Axial view. Slice 45 of 155. 240x240.
FLAIR MR image.
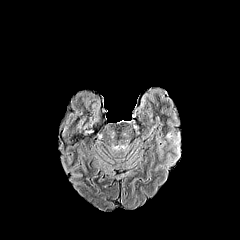
T1-weighted MR image.
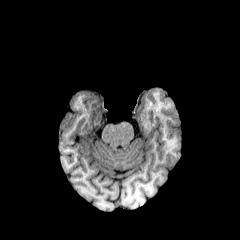
Post-contrast T1-weighted magnetic resonance.
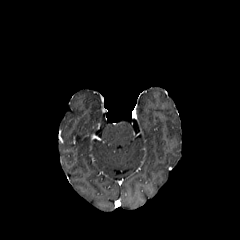
T2-weighted magnetic resonance.
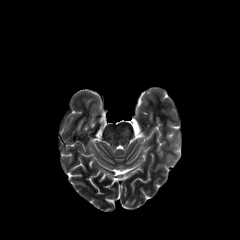
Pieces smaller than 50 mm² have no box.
Findings:
- peritumoral edema: region(174, 133, 179, 150)